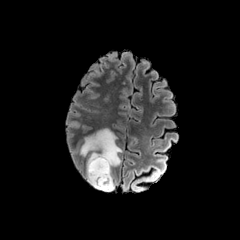
FLAIR MRI.
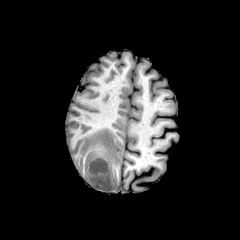
T1-weighted MRI.
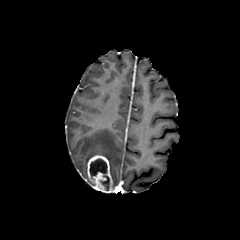
Post-contrast T1-weighted MR image of the same slice.
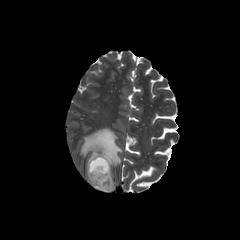
T2-weighted MRI.
enhancing tumor: bounding box (87,155,114,192)
peritumoral edema: bounding box (80,128,122,188)
necrotic tumor core: bounding box (100,176,109,190), (89,159,107,176)